FLAIR MRI.
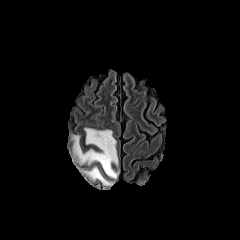
T1-weighted MR image.
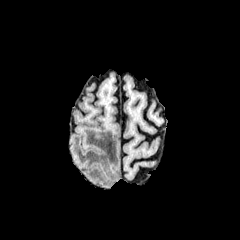
Post-contrast T1-weighted MRI.
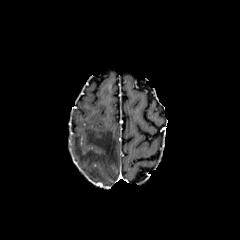
T2-weighted MR.
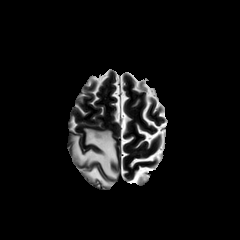
Axial slice.
peritumoral edema at {"x1": 72, "y1": 128, "x2": 118, "y2": 179}, {"x1": 84, "y1": 167, "x2": 113, "y2": 185}